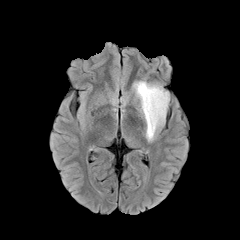
FLAIR magnetic resonance.
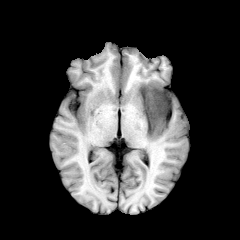
Same slice, T1-weighted MR image.
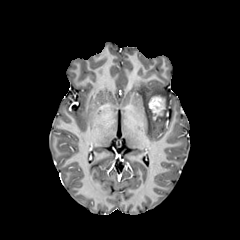
Post-contrast T1-weighted MR image.
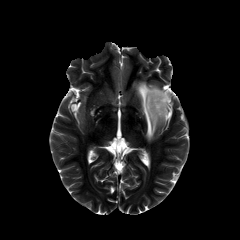
T2-weighted MR.
240x240 px; Brain; Axial view
enhancing tumor: [x1=148, y1=96, x2=165, y2=119] | peritumoral edema: [x1=133, y1=81, x2=169, y2=141]